FLAIR MRI.
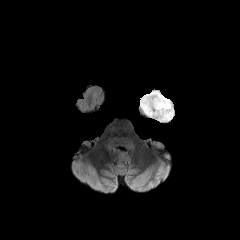
T1-weighted MR.
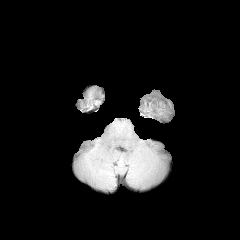
Post-contrast T1-weighted magnetic resonance.
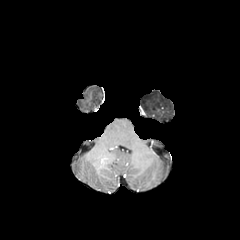
T2-weighted MR image.
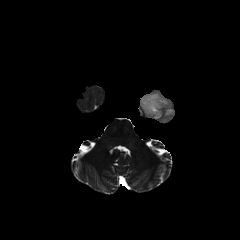
240x240; Axial plane; Head
peritumoral_edema:
  - 140:90:174:121